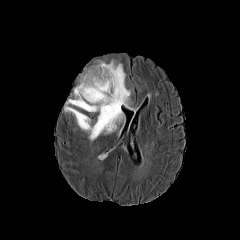
FLAIR MR.
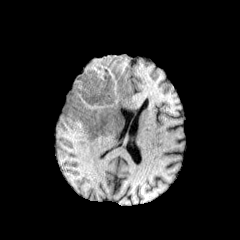
T1-weighted MR.
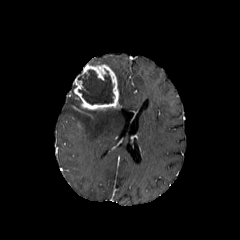
Post-contrast T1-weighted MRI of the same slice.
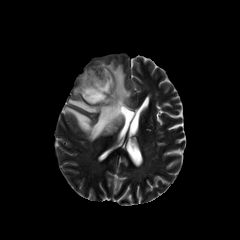
Same slice, T2-weighted magnetic resonance.
240x240 px. Head. Axial plane.
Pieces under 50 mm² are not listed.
necrotic_tumor_core:
  - (left=78, top=69, right=114, bottom=104)
peritumoral_edema:
  - (left=64, top=99, right=123, bottom=140)
  - (left=108, top=60, right=130, bottom=108)
enhancing_tumor:
  - (left=74, top=64, right=120, bottom=110)